Head, Axial plane, Image size 240x240, Slice 98/155
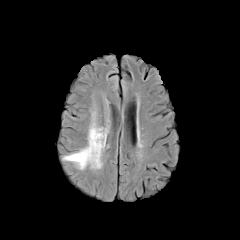
FLAIR MR.
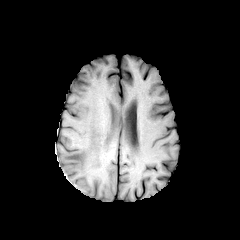
T1-weighted MR.
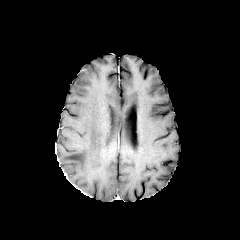
Same slice, post-contrast T1-weighted MR.
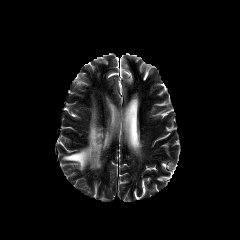
T2-weighted magnetic resonance.
peritumoral edema at 62,112,106,169